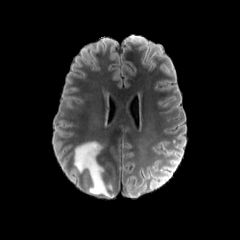
FLAIR MR image.
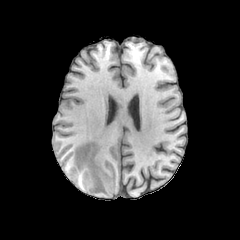
Same slice, T1-weighted magnetic resonance.
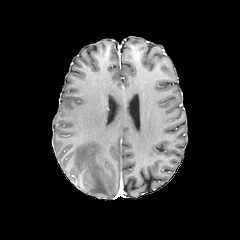
Same slice, post-contrast T1-weighted magnetic resonance.
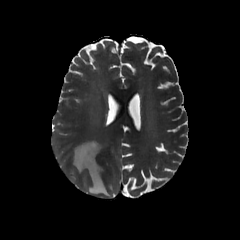
T2-weighted MR.
Head. 240x240.
peritumoral edema: bounding box (74, 142, 111, 196)